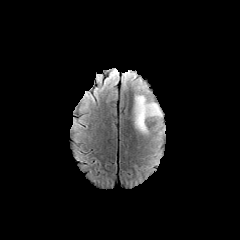
FLAIR MRI.
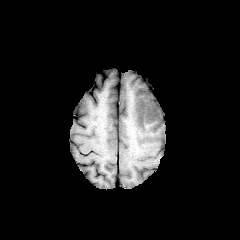
T1-weighted MR.
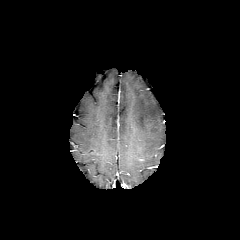
Post-contrast T1-weighted MR image.
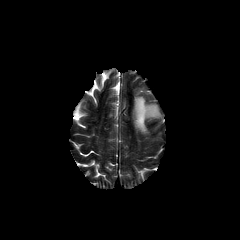
T2-weighted MR image.
240x240 px.
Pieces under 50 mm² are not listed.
Findings:
* peritumoral edema: rect(134, 94, 162, 133)